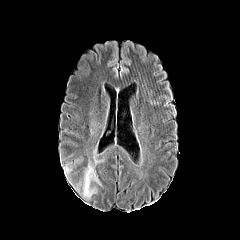
FLAIR MR.
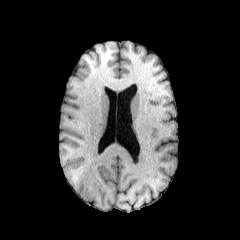
T1-weighted magnetic resonance.
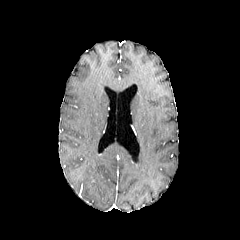
Post-contrast T1-weighted MRI of the same slice.
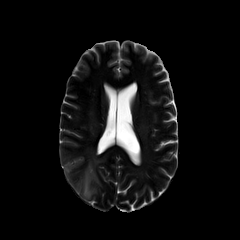
Same slice, T2-weighted MRI.
Brain, Axial plane
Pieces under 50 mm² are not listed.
Segmented structures:
• peritumoral edema: <box>82,163,100,198</box>